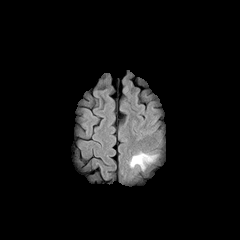
FLAIR MR.
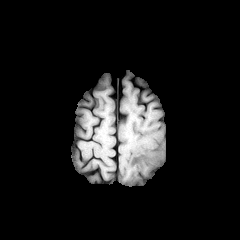
T1-weighted MRI.
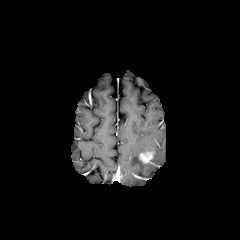
Post-contrast T1-weighted magnetic resonance.
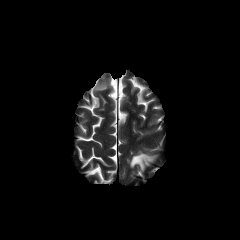
T2-weighted MR.
Axial plane
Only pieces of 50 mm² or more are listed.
peritumoral edema: bbox(129, 151, 157, 170)
enhancing tumor: bbox(139, 152, 152, 163)